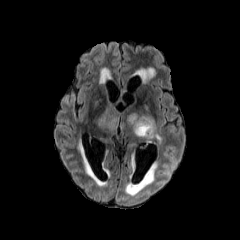
FLAIR MR image.
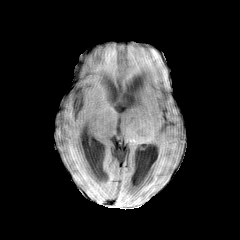
T1-weighted magnetic resonance.
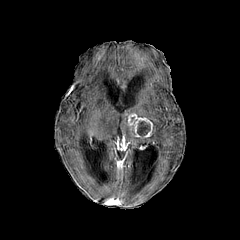
Post-contrast T1-weighted magnetic resonance.
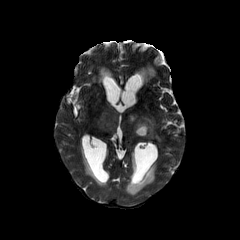
T2-weighted MR image.
Axial slice | Brain
enhancing tumor: {"x1": 127, "y1": 113, "x2": 153, "y2": 139} | peritumoral edema: {"x1": 97, "y1": 104, "x2": 161, "y2": 143} | necrotic tumor core: {"x1": 137, "y1": 121, "x2": 149, "y2": 136}